FLAIR MRI.
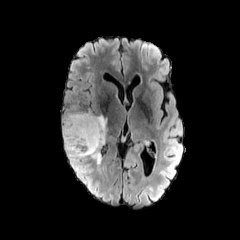
T1-weighted magnetic resonance.
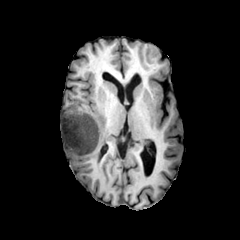
Post-contrast T1-weighted MR.
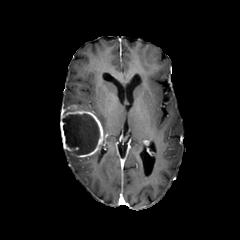
T2-weighted MR image.
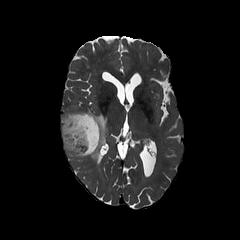
Axial view
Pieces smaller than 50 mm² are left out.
The 3 largest peritumoral edema regions are bounded by {"x1": 89, "y1": 150, "x2": 102, "y2": 164}, {"x1": 95, "y1": 113, "x2": 107, "y2": 134}, {"x1": 65, "y1": 150, "x2": 87, "y2": 168}. The necrotic tumor core is at {"x1": 62, "y1": 113, "x2": 99, "y2": 154}. The enhancing tumor is located at {"x1": 60, "y1": 105, "x2": 106, "y2": 157}.